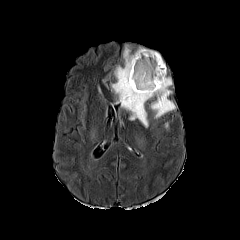
FLAIR magnetic resonance.
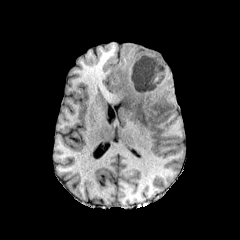
T1-weighted MR image of the same slice.
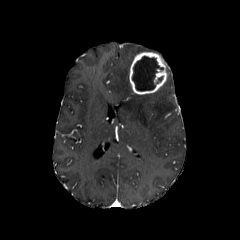
Post-contrast T1-weighted MRI.
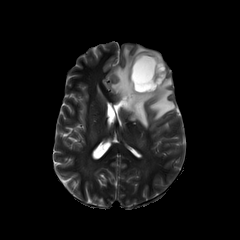
Same slice, T2-weighted MR.
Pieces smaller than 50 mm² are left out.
{
  "enhancing_tumor": [
    "129, 52, 167, 94"
  ],
  "peritumoral_edema": [
    "111, 45, 175, 128"
  ],
  "necrotic_tumor_core": [
    "132, 56, 163, 91"
  ]
}